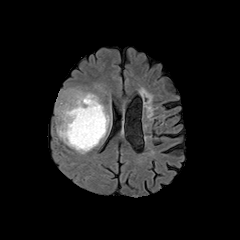
FLAIR magnetic resonance.
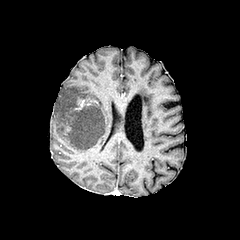
T1-weighted MRI of the same slice.
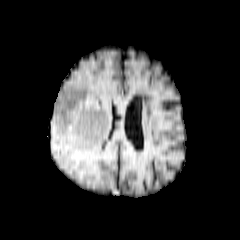
Post-contrast T1-weighted MR image.
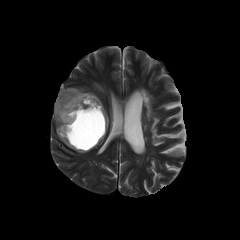
T2-weighted magnetic resonance.
Axial plane
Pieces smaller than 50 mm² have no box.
* enhancing tumor: <box>74,94,98,110</box>
* necrotic tumor core: <box>66,105,105,149</box>
* peritumoral edema: <box>55,88,109,153</box>